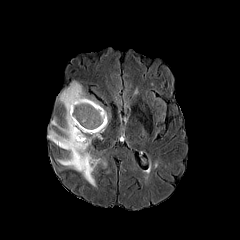
FLAIR MRI.
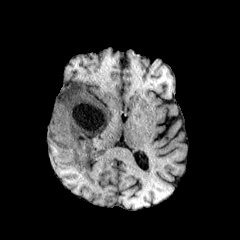
T1-weighted MR image.
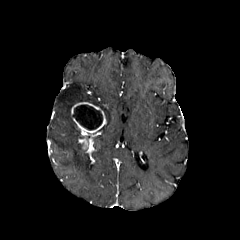
Post-contrast T1-weighted magnetic resonance.
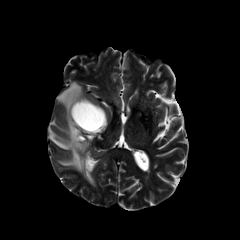
T2-weighted MR.
Axial plane; Head
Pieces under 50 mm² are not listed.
The largest peritumoral edema region lies within (left=48, top=81, right=108, bottom=186). The 2 largest enhancing tumor regions are located at (left=78, top=135, right=87, bottom=149), (left=71, top=102, right=106, bottom=134). The largest necrotic tumor core region is at (left=72, top=105, right=102, bottom=130).